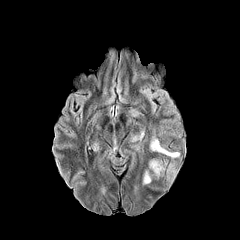
FLAIR MRI.
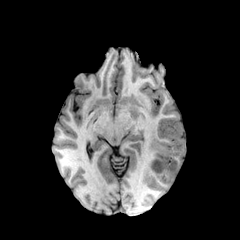
T1-weighted magnetic resonance.
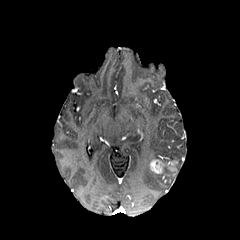
Post-contrast T1-weighted magnetic resonance.
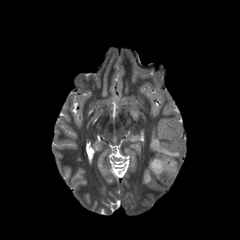
Same slice, T2-weighted MR image.
240x240, Brain
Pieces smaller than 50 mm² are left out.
Findings:
- peritumoral edema: 143,170,151,184; 150,136,179,157
- enhancing tumor: 149,159,177,177